FLAIR MR image.
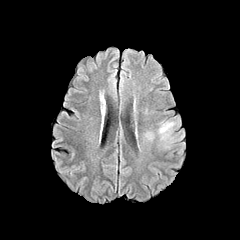
T1-weighted MR.
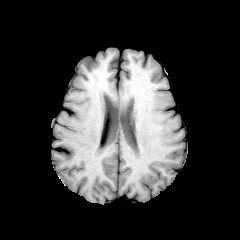
Post-contrast T1-weighted MRI.
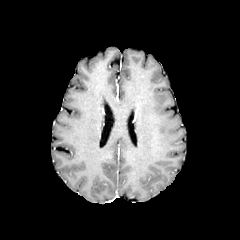
T2-weighted MR image.
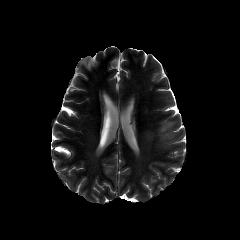
Axial slice
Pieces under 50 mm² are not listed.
peritumoral_edema:
  - [159, 122, 173, 138]